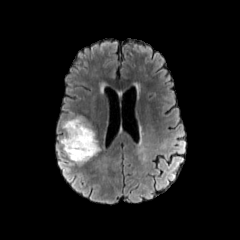
FLAIR magnetic resonance.
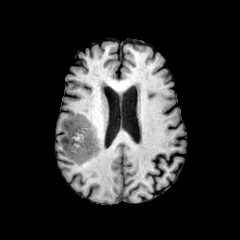
T1-weighted MR image of the same slice.
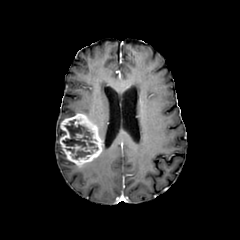
Post-contrast T1-weighted magnetic resonance.
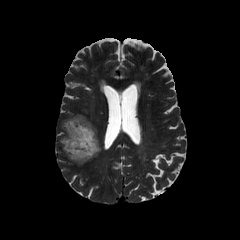
Same slice, T2-weighted magnetic resonance.
Axial plane; Head
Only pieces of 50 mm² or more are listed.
{
  "necrotic_tumor_core": [
    "l=62, t=119, r=98, b=159"
  ],
  "enhancing_tumor": [
    "l=59, t=113, r=101, b=166"
  ]
}